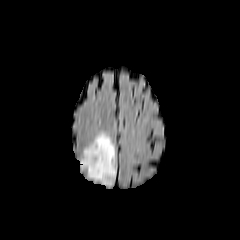
FLAIR magnetic resonance.
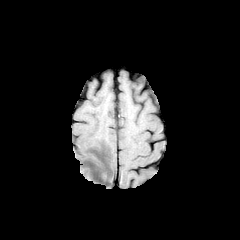
T1-weighted magnetic resonance.
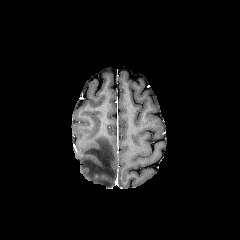
Post-contrast T1-weighted MR image of the same slice.
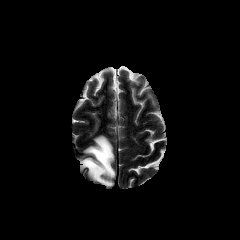
T2-weighted MRI.
Head | 240x240 px
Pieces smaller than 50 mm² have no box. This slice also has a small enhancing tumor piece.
The peritumoral edema is bounded by box(80, 133, 115, 186).